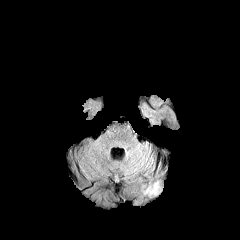
FLAIR MRI.
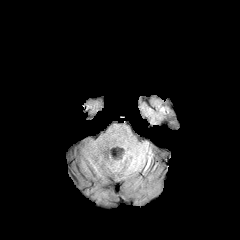
T1-weighted MRI.
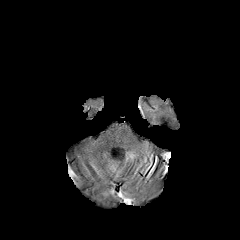
Post-contrast T1-weighted MRI.
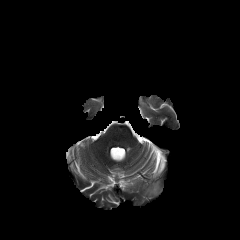
Same slice, T2-weighted MR.
Brain
peritumoral edema: region(146, 182, 158, 194)